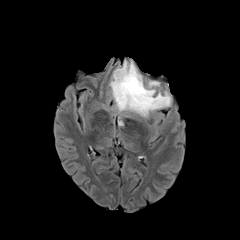
FLAIR MR.
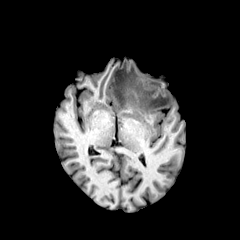
T1-weighted magnetic resonance of the same slice.
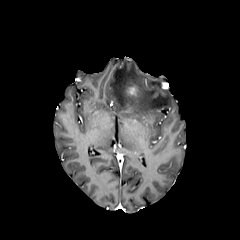
Same slice, post-contrast T1-weighted magnetic resonance.
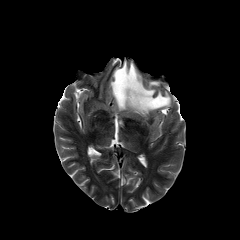
T2-weighted magnetic resonance.
Brain
The peritumoral edema lies within 110 61 171 117. The enhancing tumor is bounded by 128 86 137 95.